FLAIR MRI.
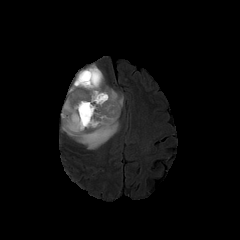
T1-weighted MRI.
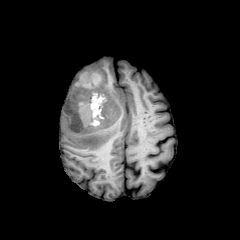
Post-contrast T1-weighted MRI.
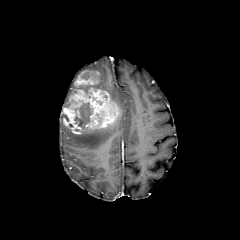
T2-weighted MR image.
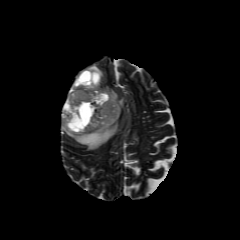
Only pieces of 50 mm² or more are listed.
Annotated regions:
- peritumoral edema: [61,114,119,149], [64,64,123,109]
- necrotic tumor core: [81,72,90,79], [74,103,92,128]
- enhancing tumor: [61,87,120,134], [74,70,99,87]